Axial view; 240x240; Brain
FLAIR MR.
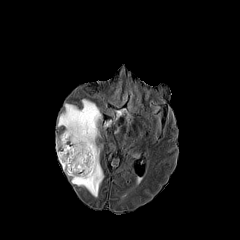
T1-weighted MRI.
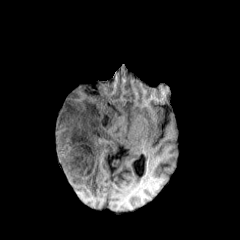
Post-contrast T1-weighted MRI.
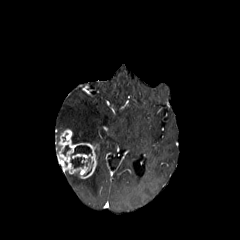
T2-weighted magnetic resonance.
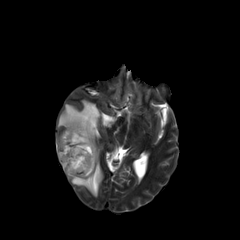
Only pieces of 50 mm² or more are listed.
Annotated regions:
* enhancing tumor: 56 129 98 178
* necrotic tumor core: 71 145 91 156, 71 157 84 168
* peritumoral edema: 103 120 111 128, 66 146 103 197, 58 99 101 144